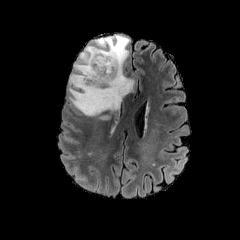
FLAIR MRI.
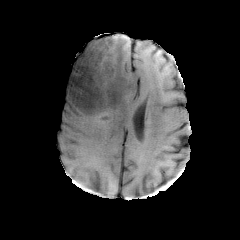
T1-weighted MRI of the same slice.
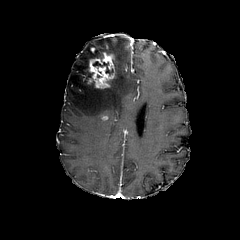
Post-contrast T1-weighted magnetic resonance of the same slice.
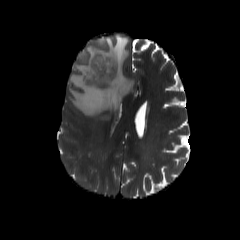
T2-weighted magnetic resonance.
Axial view; 240x240 px
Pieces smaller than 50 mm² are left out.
The largest enhancing tumor region lies within {"x1": 88, "y1": 51, "x2": 115, "y2": 89}. The largest necrotic tumor core region is located at {"x1": 93, "y1": 61, "x2": 113, "y2": 74}. The largest peritumoral edema region lies within {"x1": 68, "y1": 35, "x2": 133, "y2": 116}.